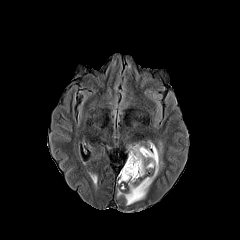
FLAIR MRI.
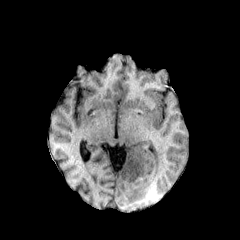
Same slice, T1-weighted MR image.
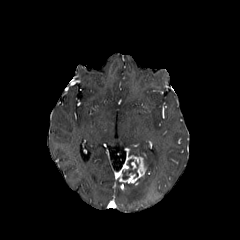
Post-contrast T1-weighted MR.
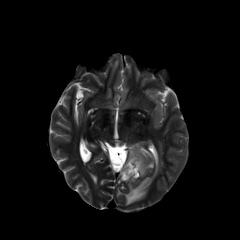
T2-weighted MR of the same slice.
240x240 | Head
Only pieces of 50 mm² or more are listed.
{
  "peritumoral_edema": [
    "124,145,162,205"
  ],
  "necrotic_tumor_core": [
    "122,159,138,179"
  ],
  "enhancing_tumor": [
    "118,153,147,188"
  ]
}